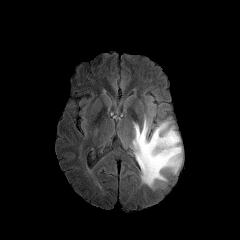
FLAIR magnetic resonance.
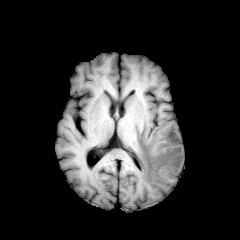
T1-weighted MRI.
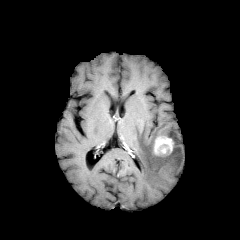
Post-contrast T1-weighted MR of the same slice.
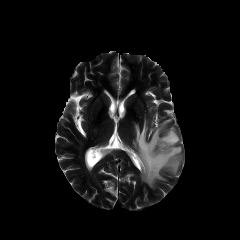
T2-weighted MRI of the same slice.
Head
Segmented structures:
* peritumoral edema: 132:118:182:188
* enhancing tumor: 154:136:173:155